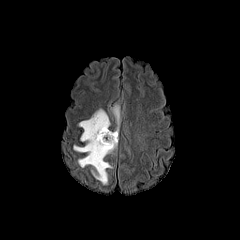
FLAIR MR image.
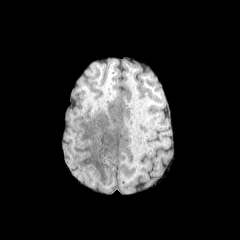
T1-weighted magnetic resonance.
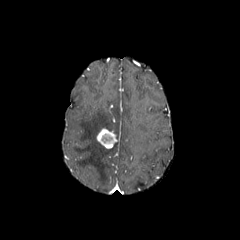
Post-contrast T1-weighted MR.
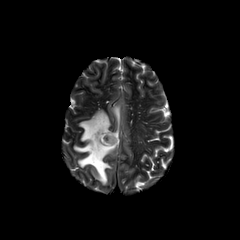
T2-weighted MR image of the same slice.
Brain
peritumoral_edema:
  - [x1=73, y1=109, x2=117, y2=184]
  - [x1=112, y1=105, x2=119, y2=138]
necrotic_tumor_core:
  - [x1=101, y1=134, x2=113, y2=143]
enhancing_tumor:
  - [x1=96, y1=128, x2=117, y2=148]